Brain | 240x240 px
FLAIR magnetic resonance.
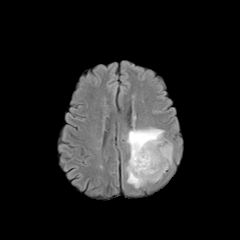
T1-weighted MRI.
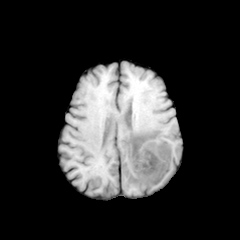
Post-contrast T1-weighted MR.
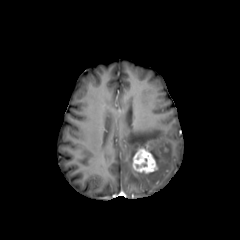
T2-weighted magnetic resonance.
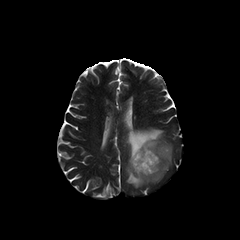
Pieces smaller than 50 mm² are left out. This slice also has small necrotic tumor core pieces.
Annotated regions:
- peritumoral edema: box=[125, 127, 172, 188]
- enhancing tumor: box=[132, 139, 160, 173]